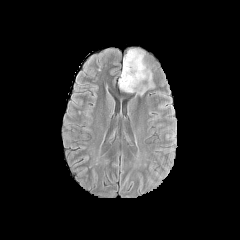
FLAIR magnetic resonance.
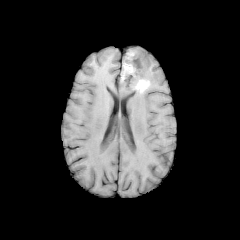
T1-weighted magnetic resonance.
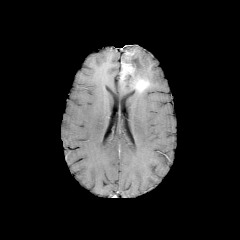
Post-contrast T1-weighted MRI.
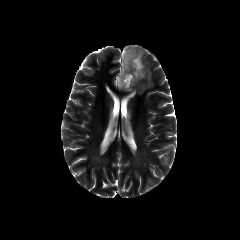
T2-weighted MR.
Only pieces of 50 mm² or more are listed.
peritumoral edema: bounding box rect(128, 48, 151, 87); rect(119, 79, 144, 93)
necrotic tumor core: bounding box rect(122, 75, 133, 88); rect(123, 53, 144, 78)
enhancing tumor: bounding box rect(120, 62, 148, 91)